Brain, Axial slice, Image size 240x240
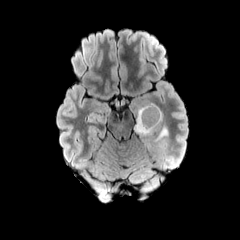
FLAIR magnetic resonance.
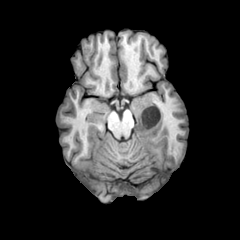
T1-weighted magnetic resonance.
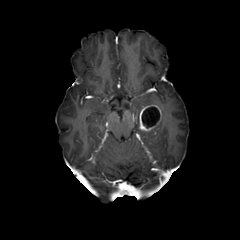
Post-contrast T1-weighted MR image of the same slice.
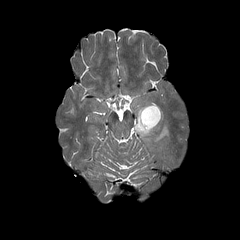
Same slice, T2-weighted MR.
peritumoral edema at 134:102:168:142
necrotic tumor core at 142:106:159:128
enhancing tumor at 139:104:161:131